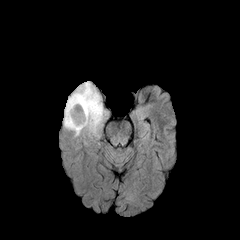
FLAIR magnetic resonance.
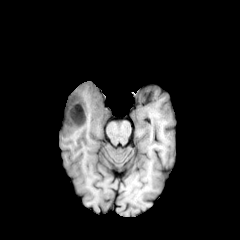
T1-weighted magnetic resonance.
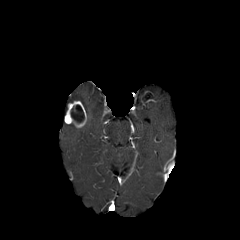
Post-contrast T1-weighted MR image of the same slice.
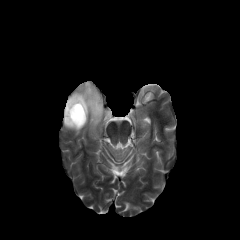
T2-weighted MRI of the same slice.
240x240 px
enhancing tumor: 64 100 87 128 | necrotic tumor core: 71 105 84 122 | peritumoral edema: 64 81 107 137